Image width 240 mm, 1.00 mm slice spacing | Slice 127/155 | Brain
FLAIR MRI.
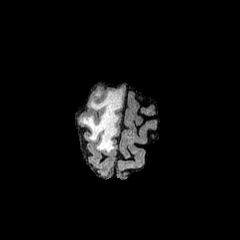
T1-weighted MR image.
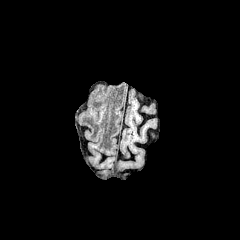
Post-contrast T1-weighted MRI.
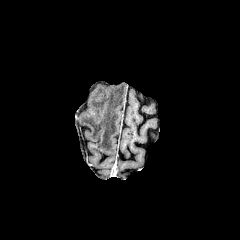
T2-weighted magnetic resonance.
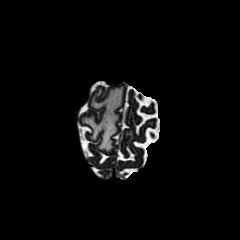
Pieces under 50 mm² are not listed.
peritumoral edema: bounding box {"x1": 81, "y1": 88, "x2": 122, "y2": 152}